240x240, Slice index 39, Axial view, Brain
FLAIR MR image.
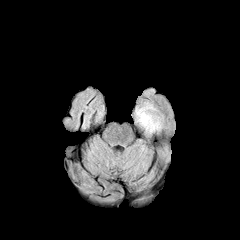
T1-weighted magnetic resonance.
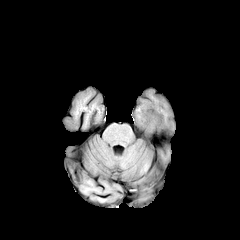
Post-contrast T1-weighted magnetic resonance.
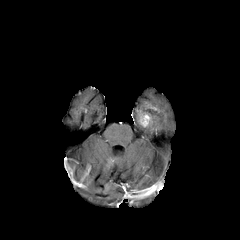
T2-weighted MR.
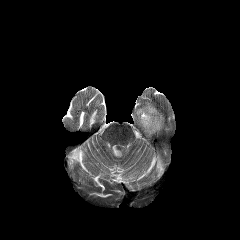
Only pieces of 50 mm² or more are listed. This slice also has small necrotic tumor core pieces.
Annotated regions:
* peritumoral edema: (140,108,162,134), (135,102,154,123)
* enhancing tumor: (137,110,152,127)